240x240; Image covers 240 mm x 240 mm; Slice 80/155; Axial view
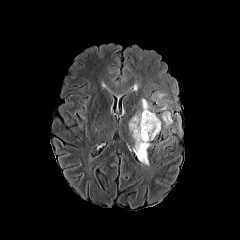
FLAIR magnetic resonance.
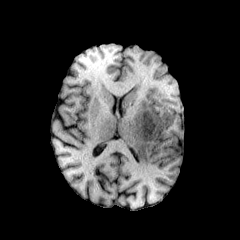
T1-weighted MRI.
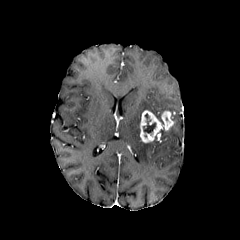
Post-contrast T1-weighted MRI.
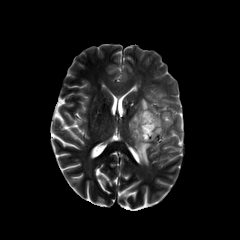
Same slice, T2-weighted magnetic resonance.
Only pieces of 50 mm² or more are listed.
Findings:
• peritumoral edema: <box>129,98,151,165</box>, <box>154,92,168,111</box>
• enhancing tumor: <box>140,110,173,142</box>
• necrotic tumor core: <box>143,114,155,134</box>